Slice 91 of 155
FLAIR magnetic resonance.
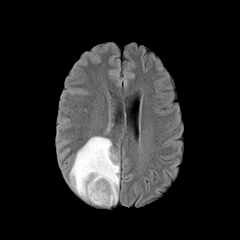
T1-weighted MR.
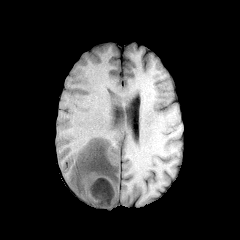
Post-contrast T1-weighted magnetic resonance.
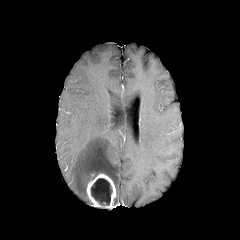
T2-weighted MRI.
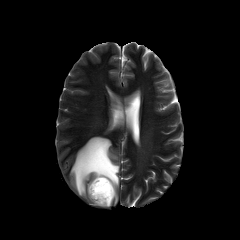
Annotated regions:
• peritumoral edema: <box>69,136,119,203</box>
• necrotic tumor core: <box>91,178,112,205</box>
• enhancing tumor: <box>87,173,116,208</box>